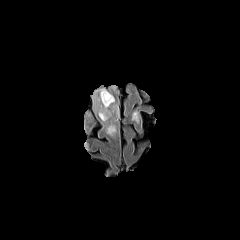
FLAIR MRI.
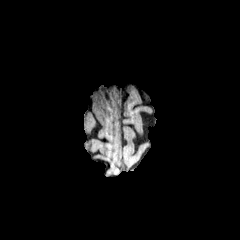
T1-weighted MR.
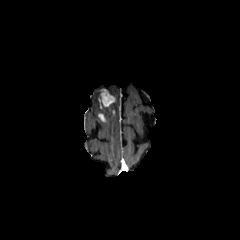
Post-contrast T1-weighted MRI.
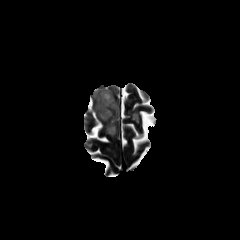
Same slice, T2-weighted MR.
Brain
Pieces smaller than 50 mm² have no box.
{"peritumoral_edema": ["bbox(132, 110, 140, 123)", "bbox(92, 88, 119, 136)"], "enhancing_tumor": ["bbox(99, 89, 114, 106)"]}